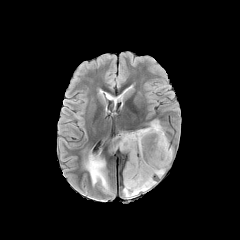
FLAIR MR.
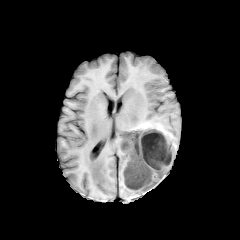
T1-weighted magnetic resonance of the same slice.
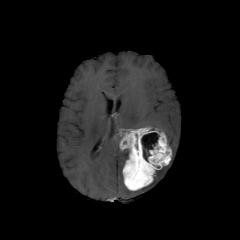
Post-contrast T1-weighted MR image of the same slice.
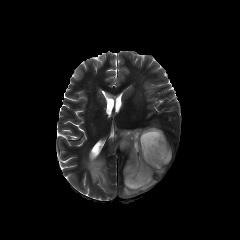
T2-weighted MRI.
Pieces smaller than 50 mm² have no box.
{
  "enhancing_tumor": [
    "region(119, 127, 172, 190)"
  ],
  "necrotic_tumor_core": [
    "region(141, 132, 158, 161)"
  ],
  "peritumoral_edema": [
    "region(150, 120, 162, 130)",
    "region(109, 134, 121, 154)",
    "region(123, 180, 156, 197)",
    "region(85, 155, 110, 192)",
    "region(155, 166, 165, 177)"
  ]
}